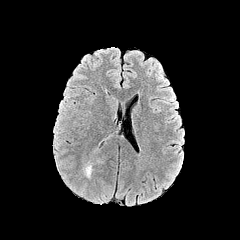
FLAIR MR.
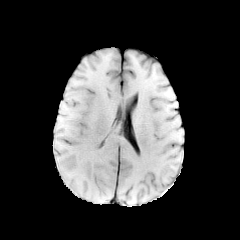
Same slice, T1-weighted MR.
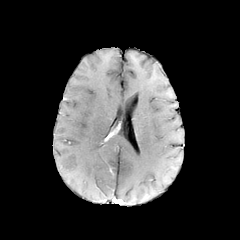
Post-contrast T1-weighted MRI.
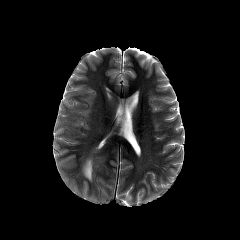
T2-weighted MR image.
Brain; Axial plane
The peritumoral edema appears at [x1=82, y1=158, x2=93, y2=180].